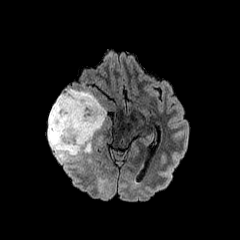
FLAIR MR.
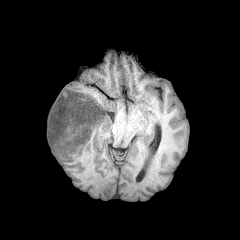
T1-weighted MRI of the same slice.
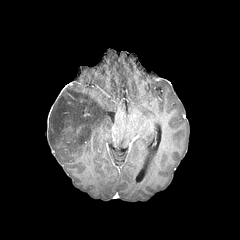
Post-contrast T1-weighted magnetic resonance of the same slice.
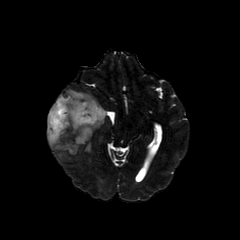
T2-weighted MRI.
Axial slice
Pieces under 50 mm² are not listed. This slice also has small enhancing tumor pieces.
The largest peritumoral edema region is at {"x1": 47, "y1": 88, "x2": 106, "y2": 161}.